Image size 240x240; Axial view; Slice 110/155
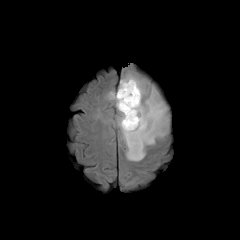
FLAIR MR image.
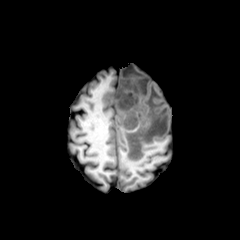
T1-weighted magnetic resonance of the same slice.
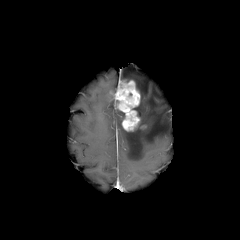
Same slice, post-contrast T1-weighted MRI.
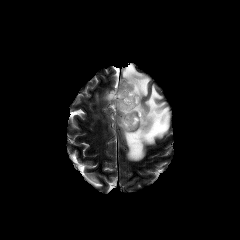
T2-weighted MRI.
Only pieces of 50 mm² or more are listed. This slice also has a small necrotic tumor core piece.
2 peritumoral edema regions are located at box=[106, 91, 115, 101]; box=[117, 67, 169, 161]. The largest enhancing tumor region is bounded by box=[110, 80, 140, 131].